FLAIR magnetic resonance.
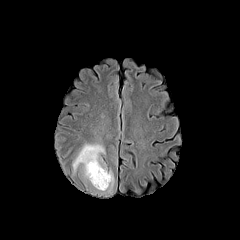
T1-weighted MR image.
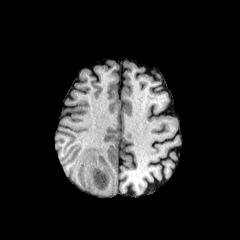
Post-contrast T1-weighted MR image.
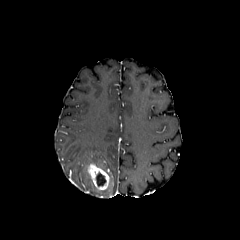
T2-weighted MRI.
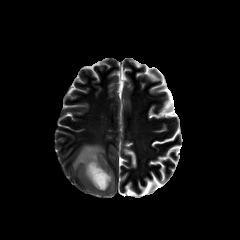
Axial slice; Brain
{
  "peritumoral_edema": [
    "72 144 114 193"
  ],
  "enhancing_tumor": [
    "87 163 110 190"
  ],
  "necrotic_tumor_core": [
    "96 173 105 185"
  ]
}